FLAIR MRI.
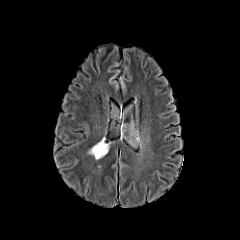
T1-weighted magnetic resonance.
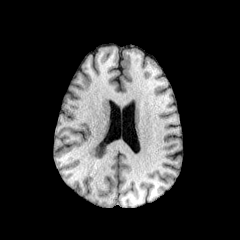
Post-contrast T1-weighted magnetic resonance.
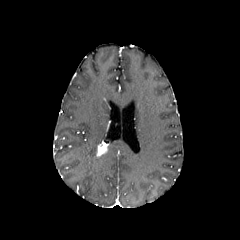
T2-weighted MR image.
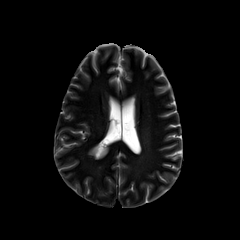
Axial plane; Brain
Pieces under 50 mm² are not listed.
enhancing tumor — 96, 142, 107, 156
peritumoral edema — 88, 140, 107, 159